FLAIR MR image.
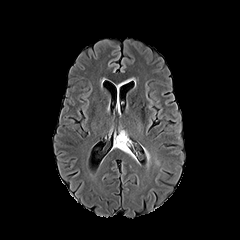
T1-weighted MR image.
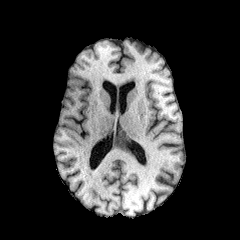
Post-contrast T1-weighted MR.
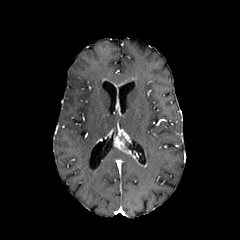
T2-weighted MR image.
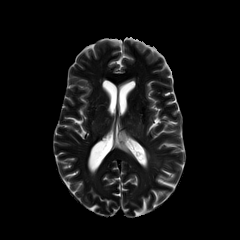
Brain, Axial view, 240x240
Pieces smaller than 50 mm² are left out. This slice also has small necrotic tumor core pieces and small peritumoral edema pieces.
enhancing tumor = rect(114, 129, 138, 158)